FLAIR magnetic resonance.
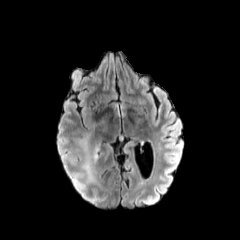
T1-weighted MR.
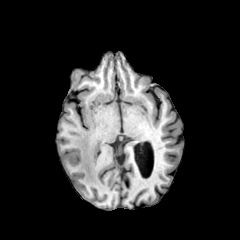
Post-contrast T1-weighted MRI.
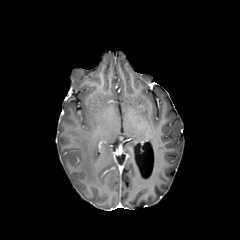
T2-weighted magnetic resonance.
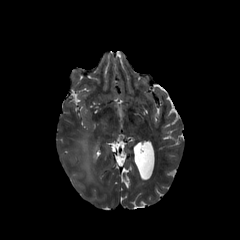
Head
peritumoral edema: bbox=[79, 136, 97, 181]